Slice index 115, Brain, Axial slice
FLAIR MR.
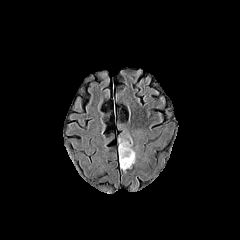
T1-weighted MR image.
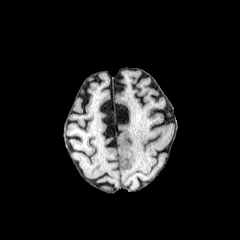
Post-contrast T1-weighted MRI.
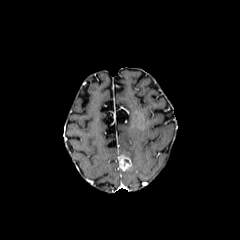
T2-weighted MR.
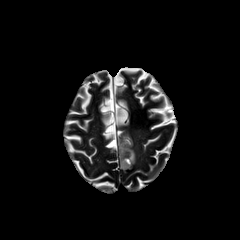
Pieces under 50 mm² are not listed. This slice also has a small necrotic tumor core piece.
Segmented structures:
• peritumoral edema: <box>118,138,135,164</box>
• enhancing tumor: <box>119,155,131,170</box>